FLAIR MR image.
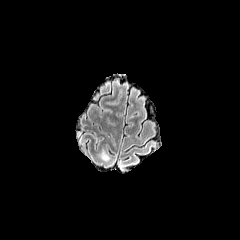
T1-weighted MR image.
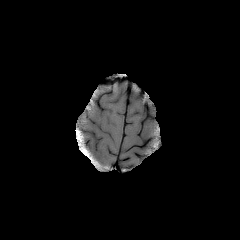
Post-contrast T1-weighted MR.
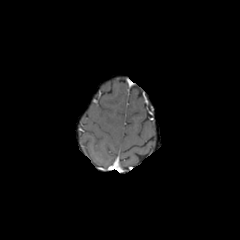
T2-weighted MRI.
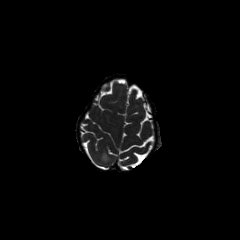
Findings:
- peritumoral edema: (x1=99, y1=150, x2=110, y2=160)